FLAIR MR.
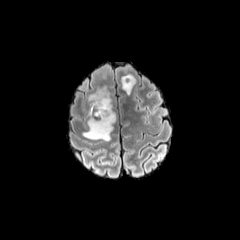
T1-weighted MR.
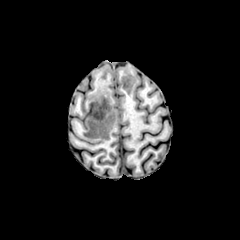
Post-contrast T1-weighted MR image.
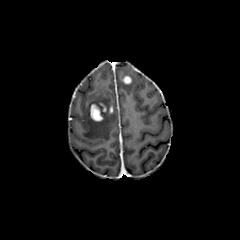
T2-weighted magnetic resonance.
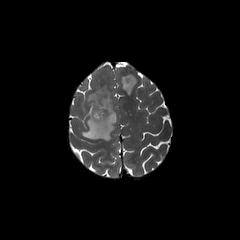
Head
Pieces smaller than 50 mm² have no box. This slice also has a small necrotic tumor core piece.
peritumoral edema: bounding box [120, 74, 137, 94], [82, 72, 116, 141]
enhancing tumor: bounding box [90, 103, 106, 121], [122, 76, 131, 84]